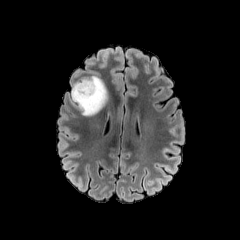
FLAIR magnetic resonance.
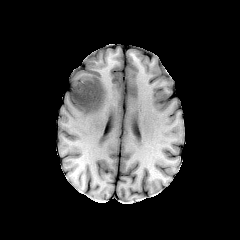
T1-weighted MR image.
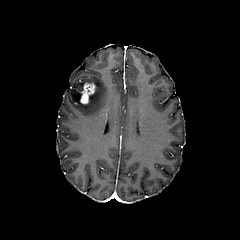
Post-contrast T1-weighted MR image.
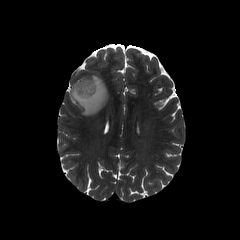
T2-weighted MR image.
Axial slice
- enhancing tumor: bbox=[80, 83, 95, 103]
- peritumoral edema: bbox=[68, 75, 108, 116]